Slice 52 of 155
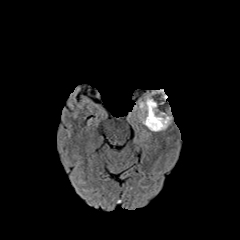
FLAIR MR.
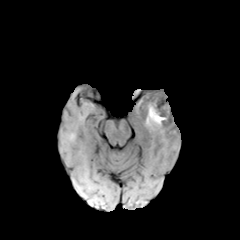
T1-weighted magnetic resonance.
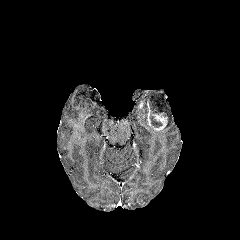
Post-contrast T1-weighted MR.
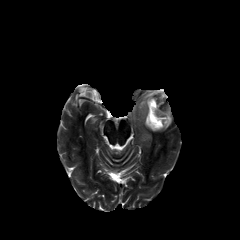
T2-weighted MR of the same slice.
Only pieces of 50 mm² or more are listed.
The largest enhancing tumor region is located at l=147, t=99, r=167, b=130. 2 peritumoral edema regions are bounded by l=162, t=102, r=172, b=130; l=130, t=89, r=166, b=131. The necrotic tumor core appears at l=149, t=92, r=166, b=127.